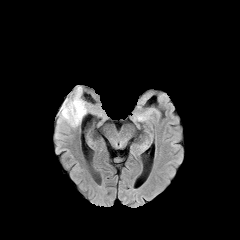
FLAIR MRI.
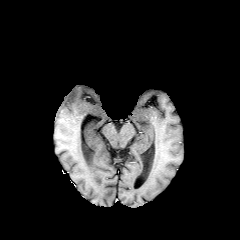
T1-weighted MRI of the same slice.
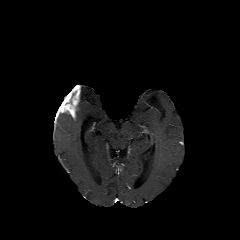
Post-contrast T1-weighted MR image of the same slice.
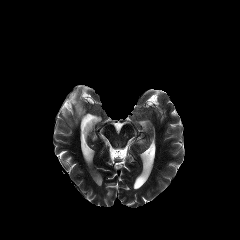
T2-weighted MR.
240x240 px
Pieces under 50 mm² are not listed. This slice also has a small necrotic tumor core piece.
{"peritumoral_edema": ["(x1=57, y1=97, x2=90, y2=127)"], "enhancing_tumor": ["(x1=55, y1=85, x2=80, y2=119)"]}